FLAIR MR image.
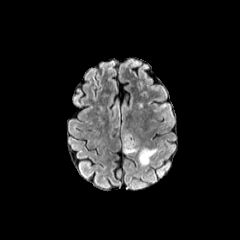
T1-weighted magnetic resonance.
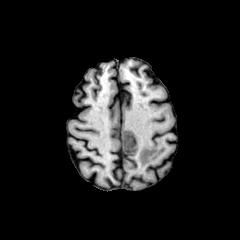
Post-contrast T1-weighted MRI.
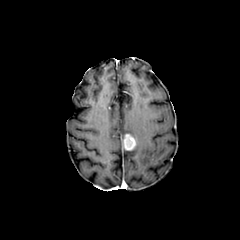
T2-weighted MRI.
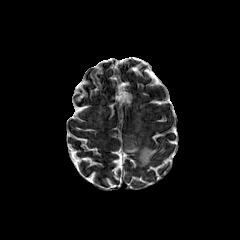
240x240 | Axial slice
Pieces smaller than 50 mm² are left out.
peritumoral edema: rect(124, 146, 138, 154); rect(138, 147, 157, 166)
enhancing tumor: rect(123, 134, 136, 150)